FLAIR MRI.
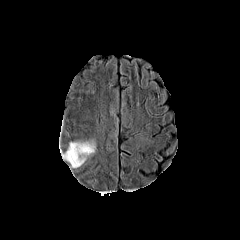
T1-weighted magnetic resonance.
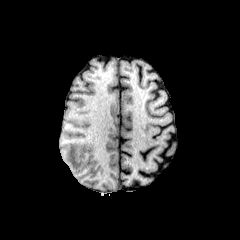
Post-contrast T1-weighted MR.
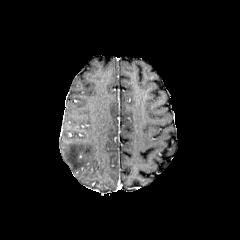
T2-weighted MRI.
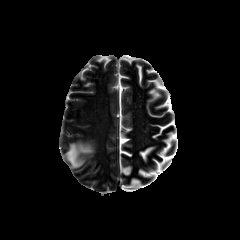
Axial slice, 240x240, Head
peritumoral edema: bounding box l=63, t=140, r=94, b=167